Slice 95 of 155, Axial slice
FLAIR MR.
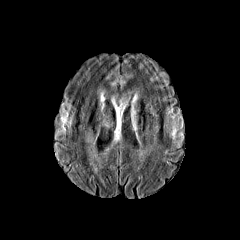
T1-weighted MR.
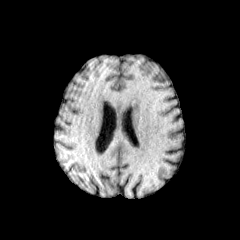
Post-contrast T1-weighted MR image.
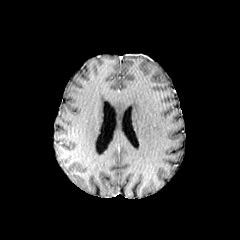
T2-weighted MR.
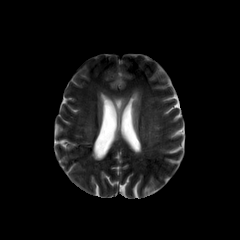
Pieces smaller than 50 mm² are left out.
The 4 largest peritumoral edema regions are bounded by [x1=111, y1=90, x2=132, y2=125], [x1=110, y1=75, x2=125, y2=89], [x1=100, y1=88, x2=105, y2=104], [x1=130, y1=92, x2=137, y2=126].